FLAIR magnetic resonance.
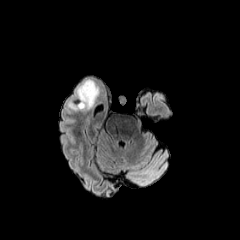
T1-weighted MR.
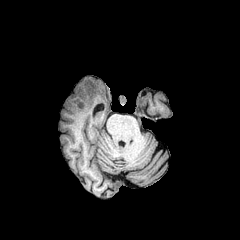
Post-contrast T1-weighted MRI.
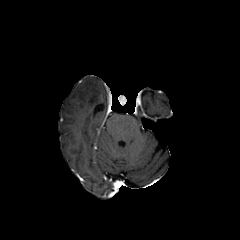
T2-weighted MRI.
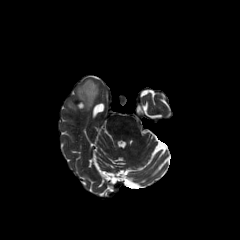
peritumoral edema: bounding box <bbox>68, 80, 98, 110</bbox>